FLAIR magnetic resonance.
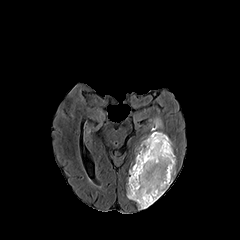
T1-weighted magnetic resonance.
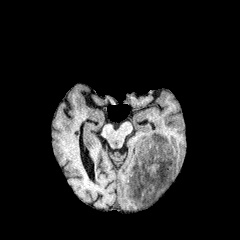
Post-contrast T1-weighted magnetic resonance.
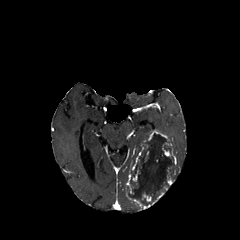
T2-weighted MR image.
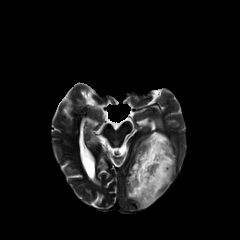
Head; Axial plane; 240x240 px
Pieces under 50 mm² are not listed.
Annotated regions:
* enhancing tumor: rect(132, 169, 139, 184); rect(162, 147, 176, 165); rect(142, 193, 151, 201); rect(126, 174, 133, 194); rect(130, 144, 143, 170); rect(126, 192, 164, 209); rect(144, 130, 171, 146)
* peritumoral edema: rect(151, 118, 162, 131)
* necrotic tumor core: rect(127, 133, 175, 205)